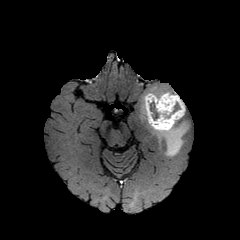
FLAIR MRI.
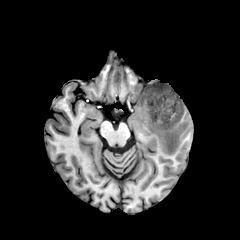
T1-weighted MRI of the same slice.
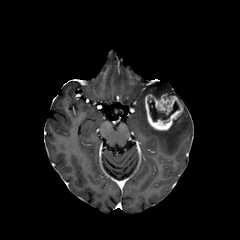
Post-contrast T1-weighted MR.
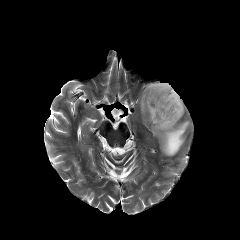
T2-weighted MR image.
240x240
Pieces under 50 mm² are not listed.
necrotic_tumor_core:
  - bbox=[148, 97, 179, 121]
enhancing_tumor:
  - bbox=[145, 94, 183, 130]
peritumoral_edema:
  - bbox=[142, 84, 188, 156]